FLAIR MRI.
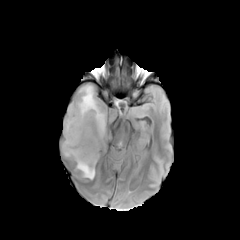
T1-weighted magnetic resonance.
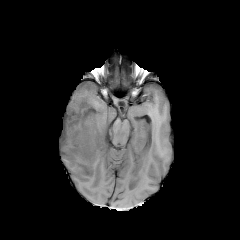
Post-contrast T1-weighted magnetic resonance.
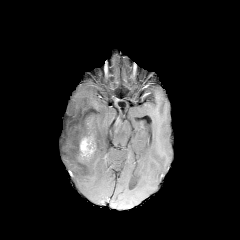
T2-weighted magnetic resonance.
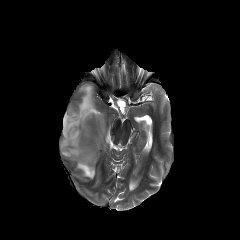
Brain; 240x240 px; Axial plane
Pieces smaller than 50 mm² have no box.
The largest peritumoral edema region appears at {"x1": 61, "y1": 83, "x2": 105, "y2": 179}. The enhancing tumor is bounded by {"x1": 79, "y1": 120, "x2": 95, "y2": 160}.